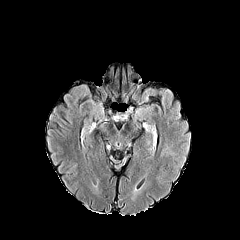
FLAIR MR image.
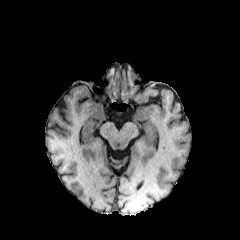
T1-weighted magnetic resonance.
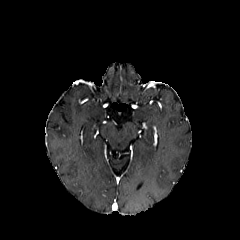
Post-contrast T1-weighted MR.
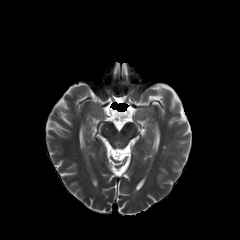
T2-weighted MRI.
Brain
peritumoral_edema:
  - <box>160,145,169,155</box>